Slice 74/155. 240x240. Image width 240 mm. Axial slice.
FLAIR MR.
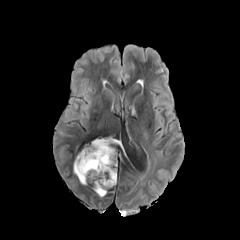
T1-weighted MR image.
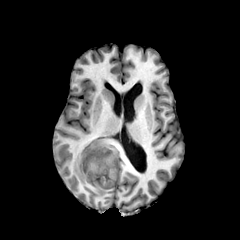
Post-contrast T1-weighted magnetic resonance.
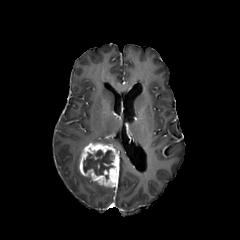
T2-weighted MR image.
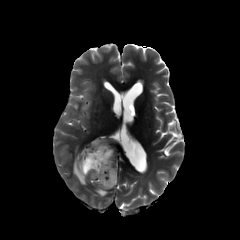
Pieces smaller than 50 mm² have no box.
peritumoral_edema:
  - x1=92 y1=138 x2=120 y2=144
  - x1=73 y1=153 x2=86 y2=184
  - x1=94 y1=182 x2=106 y2=196
necrotic_tumor_core:
  - x1=83 y1=150 x2=113 y2=175
enhancing_tumor:
  - x1=79 y1=142 x2=118 y2=187